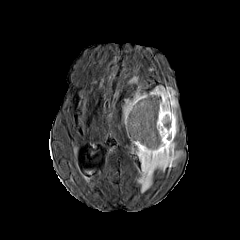
FLAIR MR image.
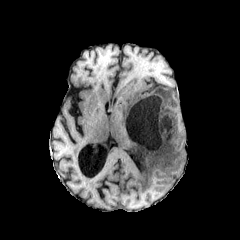
T1-weighted MR of the same slice.
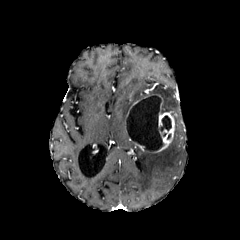
Same slice, post-contrast T1-weighted MRI.
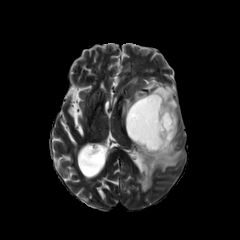
Same slice, T2-weighted MRI.
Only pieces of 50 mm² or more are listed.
The 2 largest enhancing tumor regions are bounded by l=133, t=94, r=174, b=153; l=126, t=95, r=150, b=118. The largest necrotic tumor core region lies within l=126, t=94, r=171, b=151. The 3 largest peritumoral edema regions are bounded by l=122, t=86, r=146, b=122; l=135, t=139, r=182, b=192; l=149, t=85, r=178, b=136.